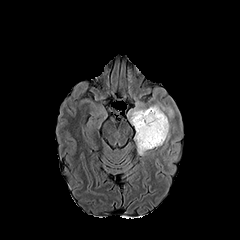
FLAIR MRI.
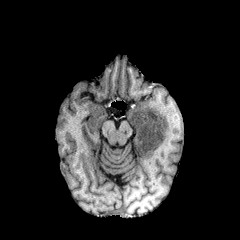
Same slice, T1-weighted MR.
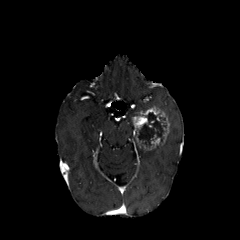
Same slice, post-contrast T1-weighted MR.
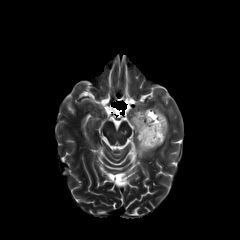
Same slice, T2-weighted MR image.
Axial view. Image size 240x240.
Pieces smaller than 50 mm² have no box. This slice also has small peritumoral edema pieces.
<segmentation>
  <necrotic_tumor_core><bbox>138, 112, 166, 148</bbox></necrotic_tumor_core>
  <enhancing_tumor><bbox>131, 106, 169, 148</bbox>, <bbox>142, 134, 160, 150</bbox></enhancing_tumor>
</segmentation>